Image width 240 mm, 1.00 mm slice spacing | Axial slice
FLAIR MRI.
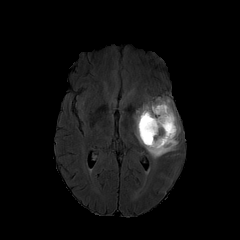
T1-weighted MR image.
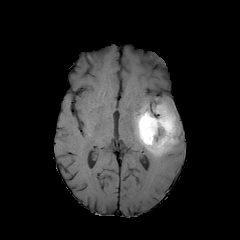
Post-contrast T1-weighted MR.
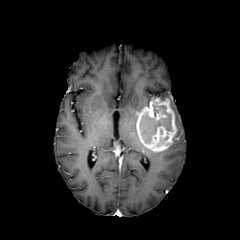
T2-weighted magnetic resonance.
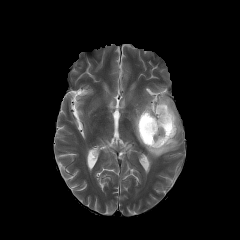
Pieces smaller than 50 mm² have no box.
peritumoral edema: bounding box bbox(133, 95, 180, 158)
necrotic tumor core: bounding box bbox(140, 105, 171, 143)
enhancing tumor: bounding box bbox(136, 98, 176, 152)